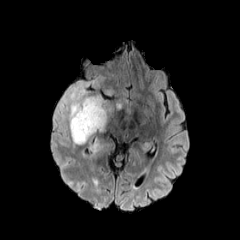
FLAIR MR image.
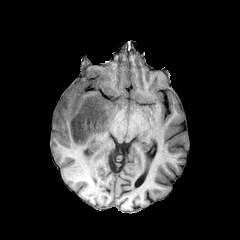
T1-weighted MRI of the same slice.
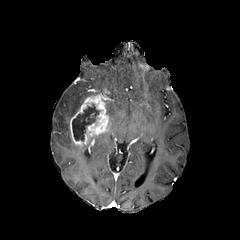
Post-contrast T1-weighted MR.
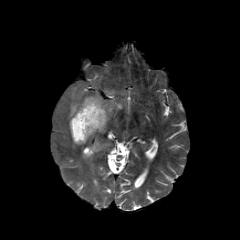
T2-weighted MR image.
Head, Axial view
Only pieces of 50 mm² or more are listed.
* peritumoral edema: rect(88, 137, 103, 152); rect(107, 100, 112, 120); rect(53, 77, 102, 140)
* necrotic tumor core: rect(72, 104, 99, 140)
* enhancing tumor: rect(69, 87, 109, 146)